Slice index 74
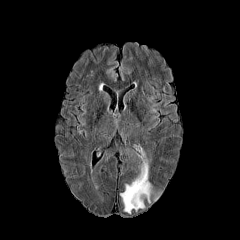
FLAIR MR image.
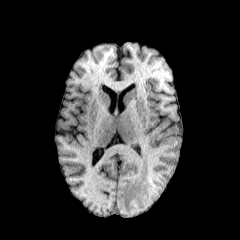
T1-weighted MR image.
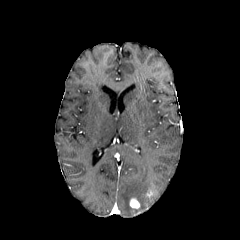
Post-contrast T1-weighted magnetic resonance.
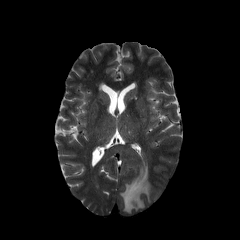
T2-weighted MR.
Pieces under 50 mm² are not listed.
enhancing tumor at bbox(129, 198, 139, 208)
peritumoral edema at bbox(120, 143, 161, 214)